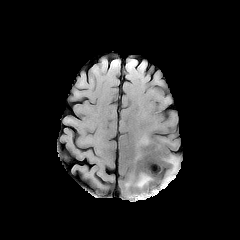
FLAIR magnetic resonance.
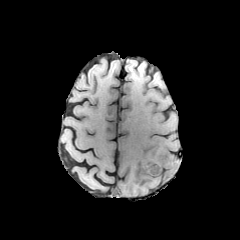
T1-weighted magnetic resonance of the same slice.
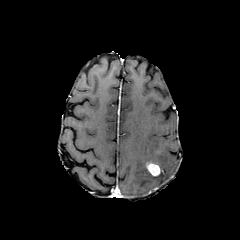
Post-contrast T1-weighted MR of the same slice.
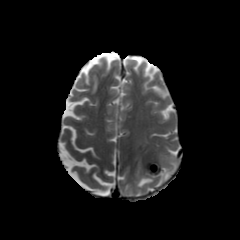
T2-weighted MRI.
Axial plane; 240x240
peritumoral_edema:
  - x1=163, y1=156, x2=178, y2=182
  - x1=137, y1=175, x2=151, y2=187
  - x1=136, y1=135, x2=149, y2=154
enhancing_tumor:
  - x1=147, y1=164, x2=159, y2=175